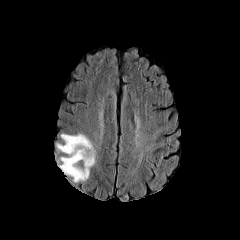
FLAIR magnetic resonance.
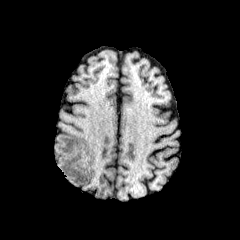
T1-weighted MR image of the same slice.
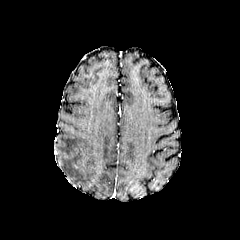
Post-contrast T1-weighted MR of the same slice.
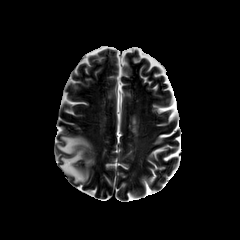
T2-weighted magnetic resonance of the same slice.
Axial slice.
The peritumoral edema is at [57,134,95,182].